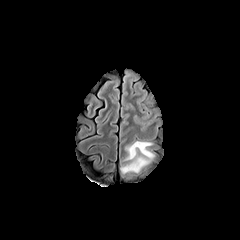
FLAIR MRI.
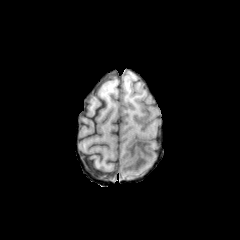
T1-weighted magnetic resonance.
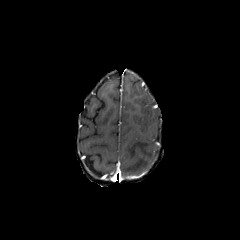
Post-contrast T1-weighted magnetic resonance.
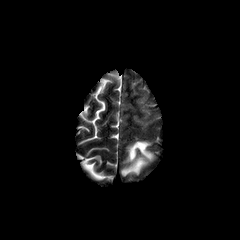
T2-weighted MRI.
Head; Axial slice; 240x240
The peritumoral edema is bounded by <bbox>120, 141, 156, 174</bbox>.